Axial slice, 240x240, Image width 240 mm, Slice index 54
FLAIR MRI.
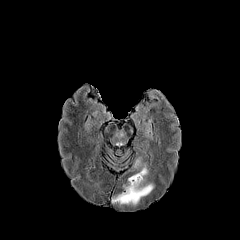
T1-weighted MRI.
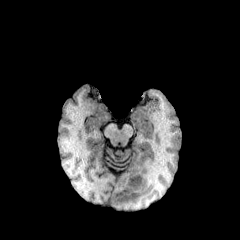
Post-contrast T1-weighted MR image.
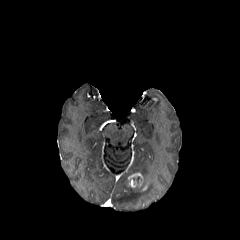
T2-weighted MRI.
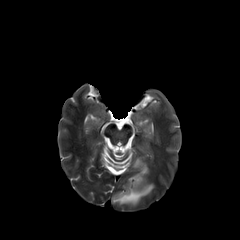
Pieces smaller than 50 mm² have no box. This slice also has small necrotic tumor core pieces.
{"peritumoral_edema": ["bbox=[112, 157, 154, 205]"], "enhancing_tumor": ["bbox=[128, 172, 143, 187]"]}